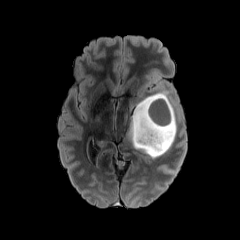
FLAIR MR.
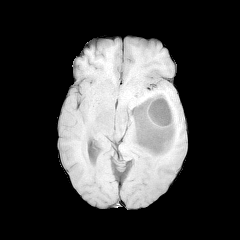
T1-weighted MR image.
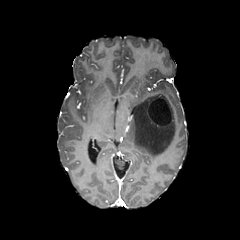
Post-contrast T1-weighted magnetic resonance.
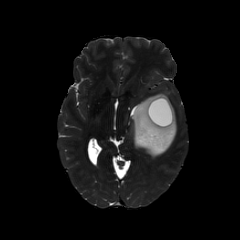
T2-weighted MR of the same slice.
Axial view | Head
The enhancing tumor is bounded by [147, 96, 173, 126]. The necrotic tumor core is located at [149, 98, 171, 124]. The peritumoral edema is at [129, 93, 176, 157].